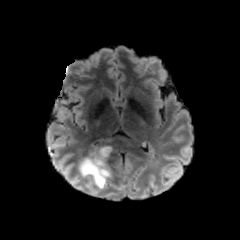
FLAIR MR image.
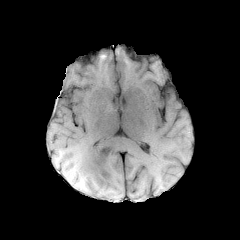
T1-weighted MRI of the same slice.
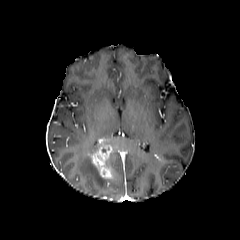
Post-contrast T1-weighted MRI of the same slice.
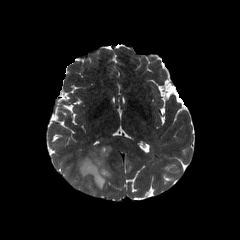
T2-weighted MRI.
Brain. 240x240 px. Axial plane.
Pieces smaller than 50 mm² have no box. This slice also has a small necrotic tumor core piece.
<segmentation>
  <peritumoral_edema>x1=78 y1=148 x2=109 y2=192</peritumoral_edema>
  <enhancing_tumor>x1=91 y1=148 x2=112 y2=179</enhancing_tumor>
</segmentation>